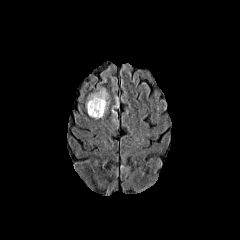
FLAIR magnetic resonance.
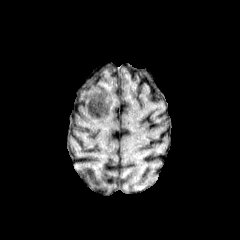
T1-weighted magnetic resonance.
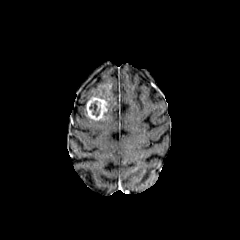
Post-contrast T1-weighted magnetic resonance.
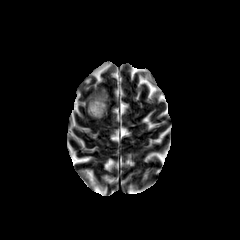
T2-weighted MRI.
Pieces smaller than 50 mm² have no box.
enhancing_tumor:
  - (x1=86, y1=89, x2=109, y2=120)
necrotic_tumor_core:
  - (x1=89, y1=102, x2=99, y2=115)
peritumoral_edema:
  - (x1=111, y1=95, x2=118, y2=117)